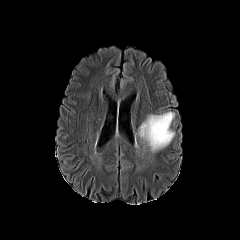
FLAIR MR.
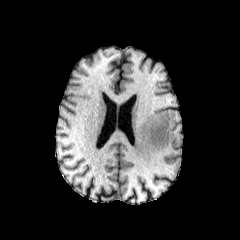
T1-weighted MR image of the same slice.
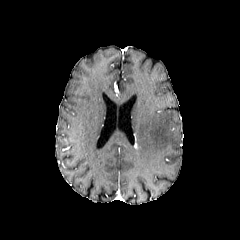
Post-contrast T1-weighted MR image of the same slice.
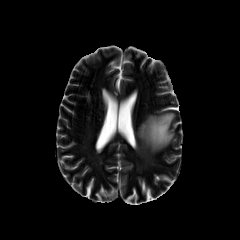
T2-weighted MR image.
Axial slice; Head
<segmentation>
  <peritumoral_edema>region(137, 112, 174, 152)</peritumoral_edema>
</segmentation>